FLAIR MR.
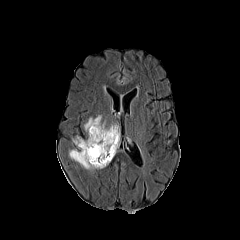
T1-weighted MR.
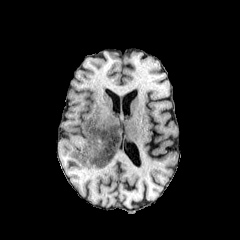
Post-contrast T1-weighted MR.
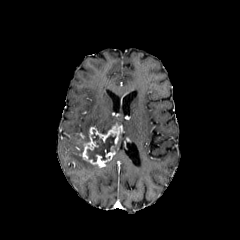
T2-weighted MR.
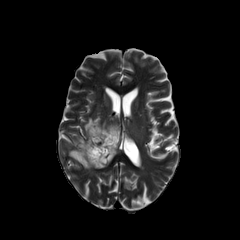
Axial view. Head. 240x240.
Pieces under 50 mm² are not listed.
Findings:
* necrotic tumor core: (left=87, top=130, right=115, bottom=161)
* enhancing tumor: (left=80, top=122, right=119, bottom=168)
* peritumoral edema: (left=84, top=116, right=113, bottom=135), (left=69, top=136, right=99, bottom=169)